FLAIR MRI.
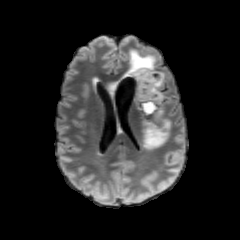
T1-weighted MR image.
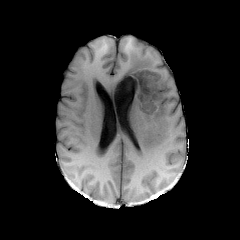
Post-contrast T1-weighted MR image.
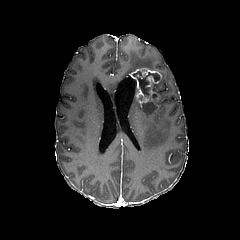
T2-weighted MR.
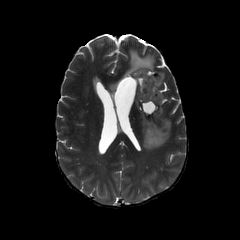
Brain | Axial view
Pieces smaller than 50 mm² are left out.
{
  "necrotic_tumor_core": [
    "box=[137, 72, 160, 114]"
  ],
  "enhancing_tumor": [
    "box=[127, 67, 161, 106]",
    "box=[146, 75, 159, 86]"
  ],
  "peritumoral_edema": [
    "box=[154, 71, 164, 104]",
    "box=[106, 49, 156, 97]",
    "box=[155, 106, 163, 116]",
    "box=[143, 120, 170, 149]"
  ]
}